Head. Image width 240 mm, 1.00 mm slice spacing. 240x240. Slice 54/155.
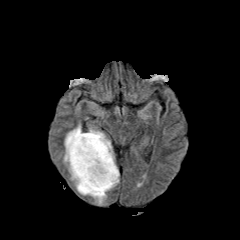
FLAIR magnetic resonance.
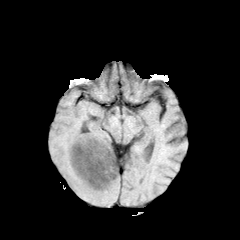
T1-weighted MR.
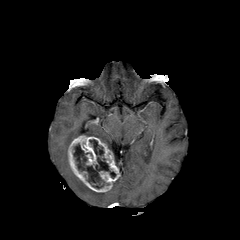
Same slice, post-contrast T1-weighted MR image.
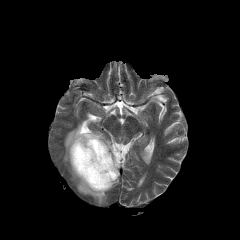
T2-weighted MR.
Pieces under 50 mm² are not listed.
peritumoral edema: (x1=63, y1=124, x2=112, y2=204) | necrotic tumor core: (x1=73, y1=139, x2=115, y2=188) | enhancing tumor: (x1=68, y1=135, x2=119, y2=192)